FLAIR MR image.
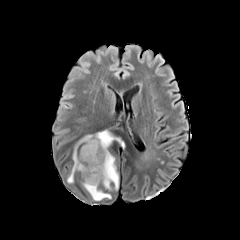
T1-weighted MR image.
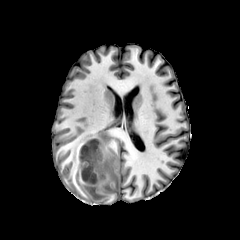
Post-contrast T1-weighted MR.
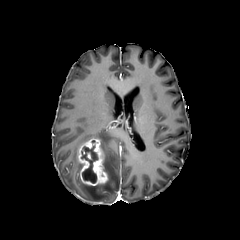
T2-weighted MR.
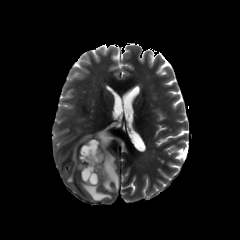
Brain
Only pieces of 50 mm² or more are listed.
enhancing tumor: [x1=78, y1=138, x2=108, y2=185]
peritumoral edema: [x1=83, y1=183, x2=111, y2=200], [x1=67, y1=130, x2=124, y2=191]
necrotic tumor core: [x1=81, y1=146, x2=97, y2=183]